Slice index 76 | Brain
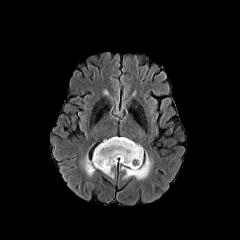
FLAIR MRI.
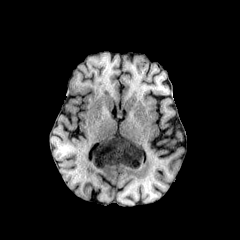
T1-weighted MRI of the same slice.
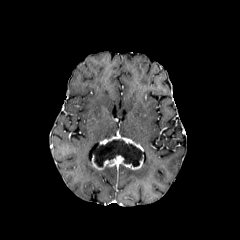
Same slice, post-contrast T1-weighted MRI.
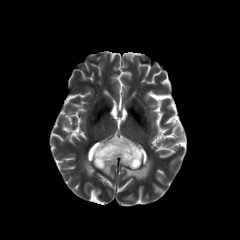
T2-weighted MR image.
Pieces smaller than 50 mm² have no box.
peritumoral edema: bounding box [x1=83, y1=156, x2=95, y2=175], [x1=121, y1=159, x2=151, y2=179], [x1=101, y1=167, x2=114, y2=178]
enhancing tumor: bounding box [x1=92, y1=136, x2=143, y2=169]
necrotic tumor core: bounding box [x1=93, y1=139, x2=142, y2=167]